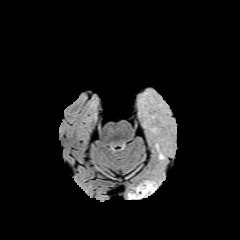
FLAIR MR image.
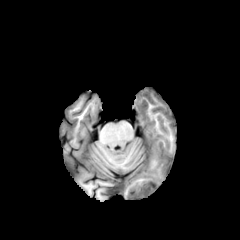
T1-weighted MRI of the same slice.
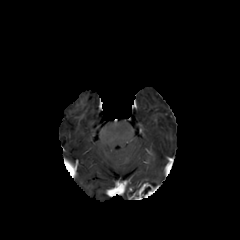
Post-contrast T1-weighted magnetic resonance of the same slice.
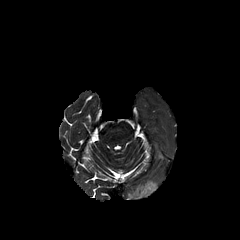
T2-weighted MR image.
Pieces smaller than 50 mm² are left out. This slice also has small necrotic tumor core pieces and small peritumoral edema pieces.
{
  "enhancing_tumor": [
    "128, 182, 158, 199"
  ]
}